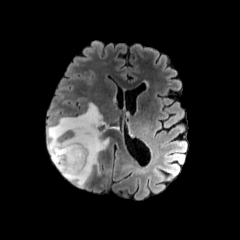
FLAIR MR.
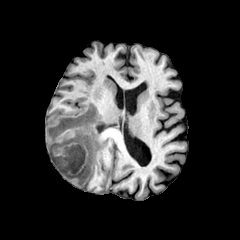
T1-weighted magnetic resonance.
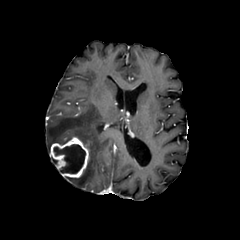
Same slice, post-contrast T1-weighted MR image.
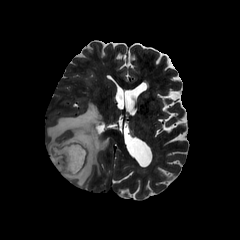
T2-weighted MR of the same slice.
Axial view.
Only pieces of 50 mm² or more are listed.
peritumoral edema = (left=47, top=103, right=108, bottom=186)
necrotic tumor core = (left=54, top=144, right=85, bottom=173)
enhancing tumor = (left=50, top=137, right=89, bottom=177)